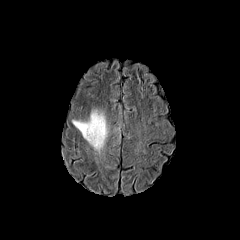
FLAIR magnetic resonance.
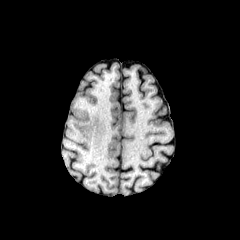
T1-weighted MR image.
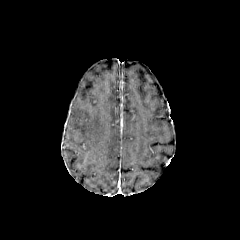
Post-contrast T1-weighted MRI of the same slice.
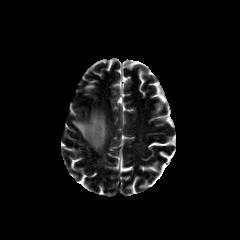
T2-weighted magnetic resonance.
Image size 240x240. Axial plane. Brain.
{
  "peritumoral_edema": [
    "[72, 110, 107, 150]"
  ]
}